Image size 240x240, Slice index 69
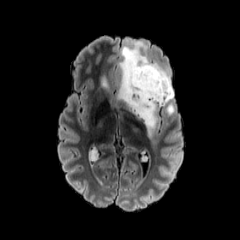
FLAIR MRI.
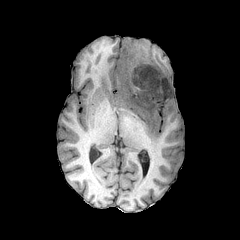
T1-weighted magnetic resonance of the same slice.
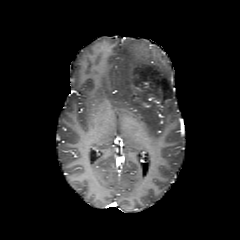
Post-contrast T1-weighted MR image of the same slice.
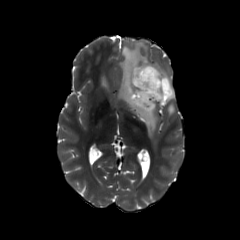
Same slice, T2-weighted MR image.
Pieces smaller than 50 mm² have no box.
Annotated regions:
- enhancing tumor: (148, 94, 162, 107), (130, 74, 146, 94)
- peritumoral edema: (100, 75, 108, 88), (117, 39, 174, 137), (165, 103, 174, 115)